Head | Axial slice
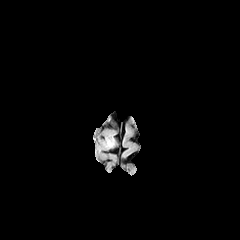
FLAIR magnetic resonance.
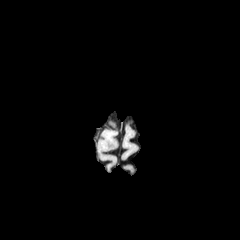
T1-weighted MRI of the same slice.
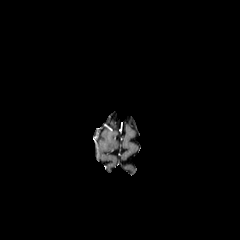
Post-contrast T1-weighted MR image of the same slice.
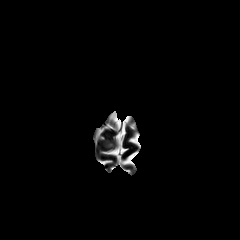
Same slice, T2-weighted MRI.
peritumoral edema: [x1=103, y1=138, x2=114, y2=148]